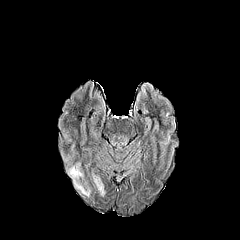
FLAIR magnetic resonance.
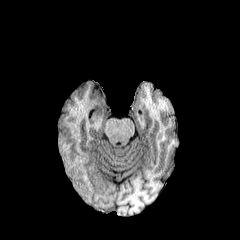
T1-weighted magnetic resonance.
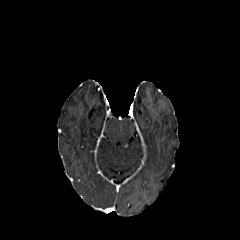
Post-contrast T1-weighted magnetic resonance.
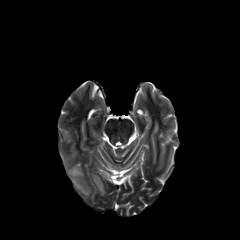
T2-weighted MR image of the same slice.
Axial slice | Image size 240x240
peritumoral edema: x1=75 y1=181 x2=90 y2=196, x1=94 y1=177 x2=104 y2=195, x1=69 y1=164 x2=82 y2=178